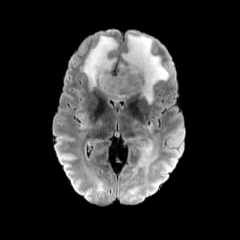
FLAIR MRI.
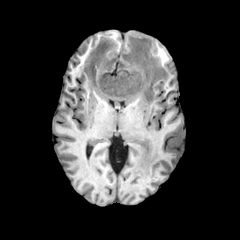
T1-weighted MRI of the same slice.
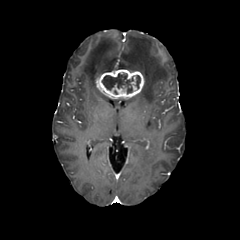
Post-contrast T1-weighted magnetic resonance.
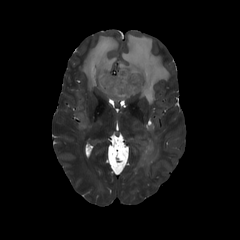
T2-weighted MR image.
Axial slice, 240x240
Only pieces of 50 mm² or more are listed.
peritumoral_edema:
  - x1=131 y1=125 x2=160 y2=184
  - x1=79 y1=112 x2=88 y2=129
  - x1=81 y1=35 x2=117 y2=89
  - x1=118 y1=34 x2=169 y2=103
enhancing_tumor:
  - x1=95 y1=69 x2=144 y2=98
necrotic_tumor_core:
  - x1=102 y1=73 x2=133 y2=93